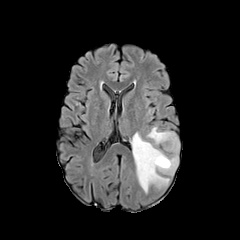
FLAIR MR.
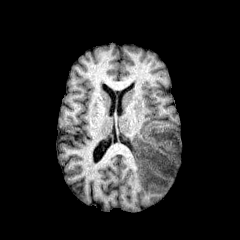
T1-weighted MR.
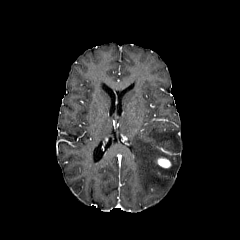
Post-contrast T1-weighted magnetic resonance of the same slice.
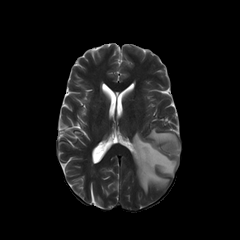
T2-weighted MR image.
Axial slice.
The peritumoral edema is at [131,127,179,193]. The enhancing tumor lies within [156,157,171,168].